Head, Image size 240x240
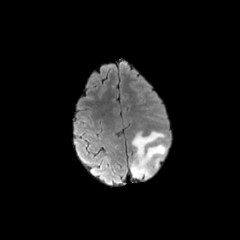
FLAIR MR image.
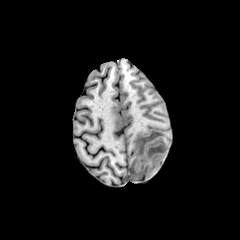
T1-weighted MR.
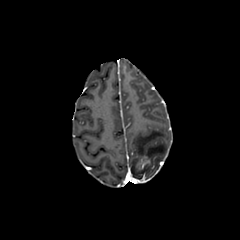
Same slice, post-contrast T1-weighted MR image.
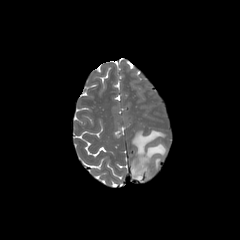
Same slice, T2-weighted MR image.
enhancing tumor: l=139, t=156, r=149, b=168 | peritumoral edema: l=131, t=131, r=166, b=179